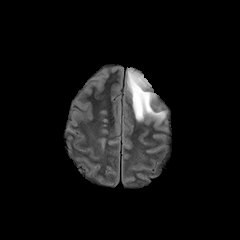
FLAIR MR.
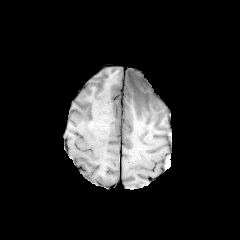
T1-weighted MR.
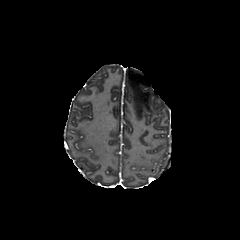
Post-contrast T1-weighted magnetic resonance.
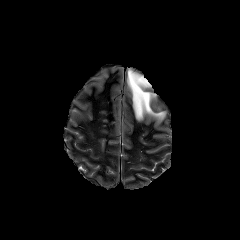
T2-weighted MRI.
Brain
The peritumoral edema appears at [x1=127, y1=69, x2=165, y2=121].